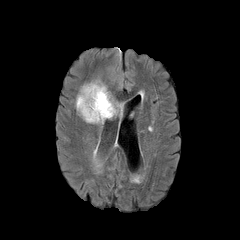
FLAIR MR image.
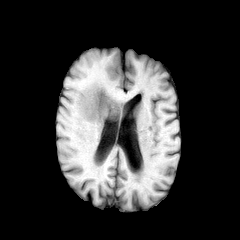
T1-weighted magnetic resonance of the same slice.
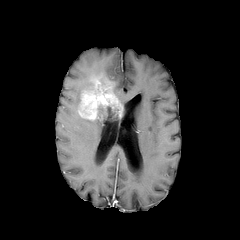
Post-contrast T1-weighted MRI.
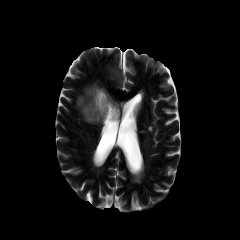
T2-weighted magnetic resonance.
Axial slice
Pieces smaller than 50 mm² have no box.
The 3 largest peritumoral edema regions are bounded by 76, 94, 80, 110; 81, 82, 93, 93; 84, 119, 100, 123. The enhancing tumor appears at 78, 79, 123, 124. The necrotic tumor core is bounded by 107, 106, 115, 117.